FLAIR MR image.
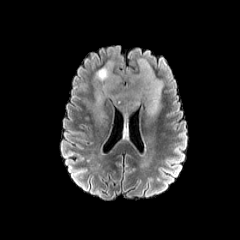
T1-weighted MRI.
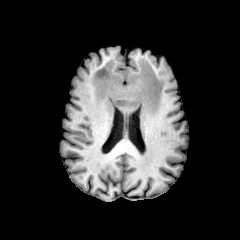
Post-contrast T1-weighted MR.
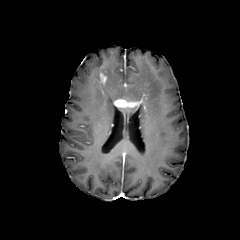
T2-weighted magnetic resonance.
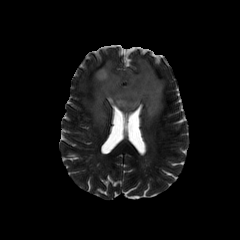
Head
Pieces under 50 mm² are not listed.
{
  "enhancing_tumor": [
    "(114, 99, 140, 107)",
    "(99, 72, 106, 84)"
  ],
  "peritumoral_edema": [
    "(93, 59, 163, 126)",
    "(117, 106, 138, 115)"
  ]
}